240x240 px; Image width 240 mm, 1.00 mm slice spacing
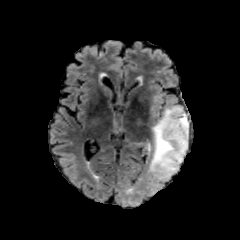
FLAIR MR image.
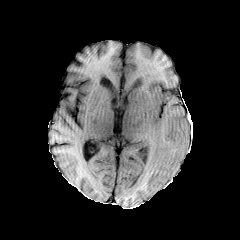
T1-weighted magnetic resonance of the same slice.
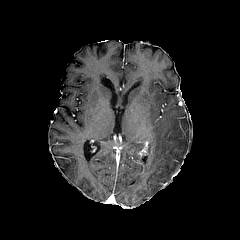
Same slice, post-contrast T1-weighted magnetic resonance.
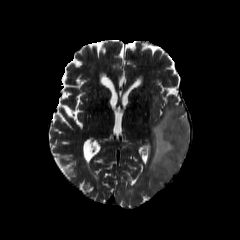
T2-weighted magnetic resonance.
{
  "peritumoral_edema": [
    "rect(147, 106, 188, 180)"
  ]
}